Axial plane
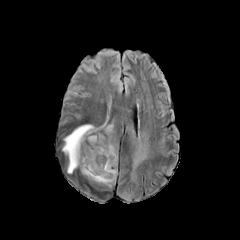
FLAIR magnetic resonance.
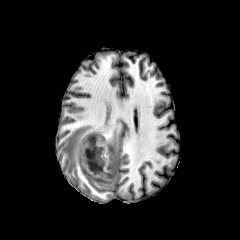
T1-weighted MRI of the same slice.
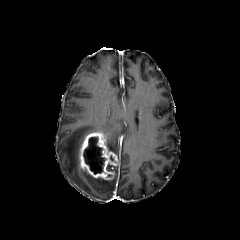
Post-contrast T1-weighted MR image.
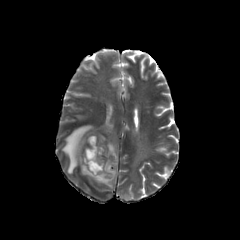
Same slice, T2-weighted MR.
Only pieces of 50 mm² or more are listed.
enhancing_tumor:
  - {"x1": 79, "y1": 132, "x2": 118, "y2": 179}
peritumoral_edema:
  - {"x1": 61, "y1": 116, "x2": 119, "y2": 173}
  - {"x1": 81, "y1": 167, "x2": 117, "y2": 187}
  - {"x1": 133, "y1": 151, "x2": 144, "y2": 169}
necrotic_tumor_core:
  - {"x1": 83, "y1": 137, "x2": 105, "y2": 174}